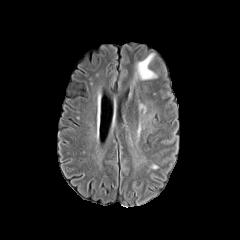
FLAIR MR.
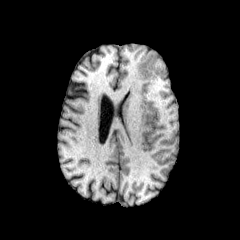
T1-weighted MRI of the same slice.
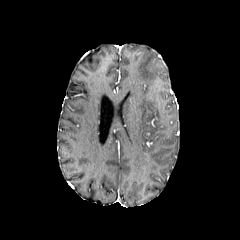
Same slice, post-contrast T1-weighted magnetic resonance.
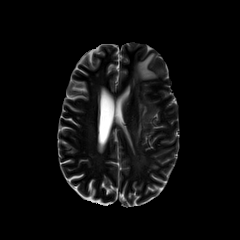
Same slice, T2-weighted MR image.
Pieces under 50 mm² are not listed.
peritumoral_edema:
  - (x1=136, y1=54, x2=156, y2=79)